Slice 122 of 155, 240x240 px, Head
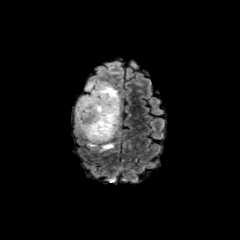
FLAIR MRI.
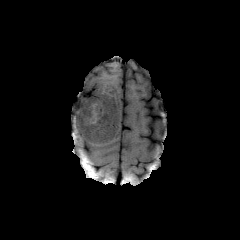
T1-weighted MR.
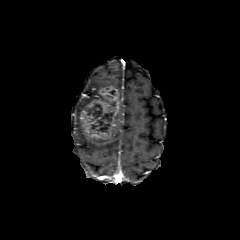
Same slice, post-contrast T1-weighted MR image.
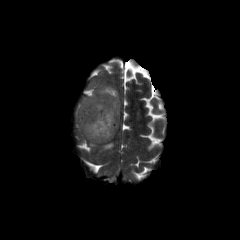
T2-weighted MRI of the same slice.
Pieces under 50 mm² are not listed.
enhancing tumor: box(79, 86, 120, 140)
peritumoral edema: box(86, 81, 113, 90); box(88, 139, 114, 152); box(76, 94, 92, 132)
necrotic tumor core: box(87, 103, 113, 132)